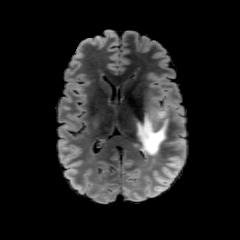
FLAIR MR image.
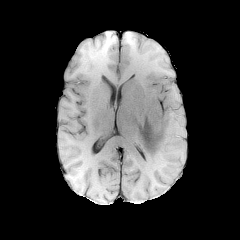
T1-weighted MRI.
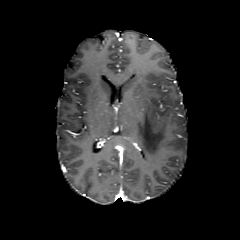
Post-contrast T1-weighted MR.
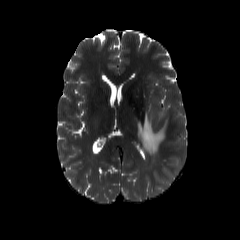
T2-weighted magnetic resonance.
Axial slice | 240x240 px
• peritumoral edema: 137 109 168 155